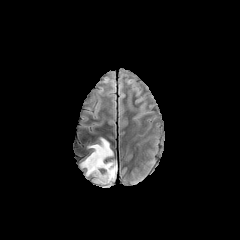
FLAIR magnetic resonance.
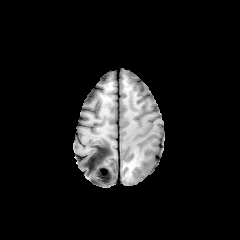
Same slice, T1-weighted MR.
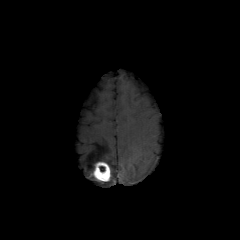
Post-contrast T1-weighted MR.
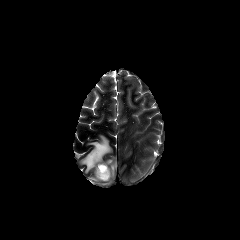
T2-weighted MR.
Head
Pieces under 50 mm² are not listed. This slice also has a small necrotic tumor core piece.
The enhancing tumor is bounded by left=91, top=161, right=111, bottom=182. The 2 largest peritumoral edema regions appear at left=81, top=137, right=112, bottom=175; left=95, top=160, right=117, bottom=184.